Image covers 240 mm x 240 mm | Slice index 127 | 240x240
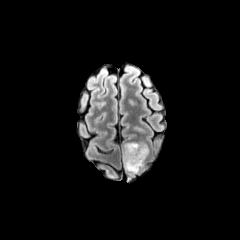
FLAIR MR image.
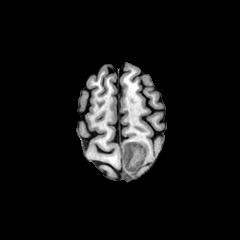
T1-weighted MR of the same slice.
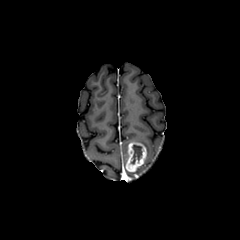
Post-contrast T1-weighted magnetic resonance.
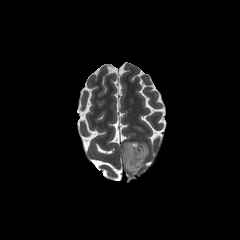
T2-weighted MR.
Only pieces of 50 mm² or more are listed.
necrotic tumor core — [131, 144, 141, 163]
peritumoral edema — [123, 142, 129, 167]
enhancing tumor — [125, 141, 146, 172]